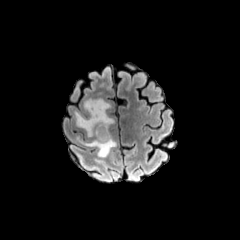
FLAIR MR.
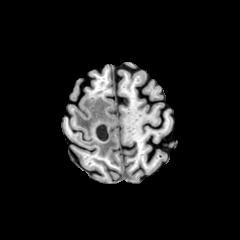
T1-weighted MR.
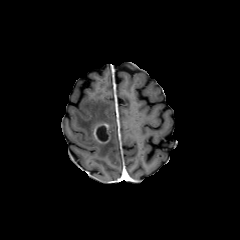
Same slice, post-contrast T1-weighted MRI.
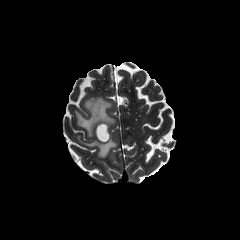
T2-weighted magnetic resonance of the same slice.
The peritumoral edema appears at 74 97 116 157. The enhancing tumor is bounded by 93 122 109 143. The necrotic tumor core is at 96 125 108 141.